FLAIR MR.
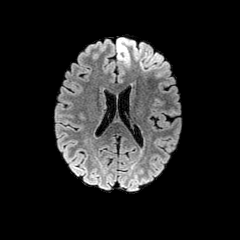
T1-weighted MRI.
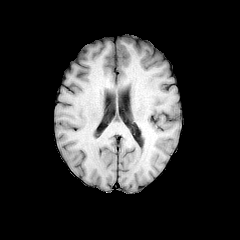
Post-contrast T1-weighted magnetic resonance.
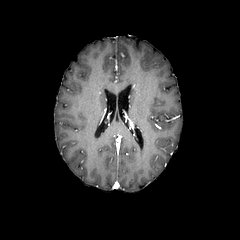
T2-weighted MR.
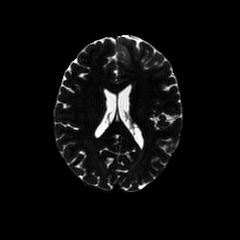
Axial plane | Head
peritumoral edema: rect(116, 37, 141, 66)